Slice 66/155, Head
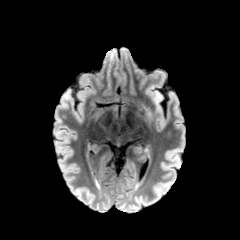
FLAIR MR.
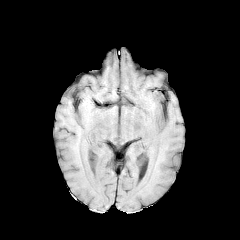
T1-weighted magnetic resonance.
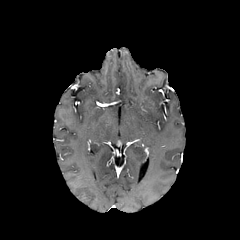
Post-contrast T1-weighted magnetic resonance.
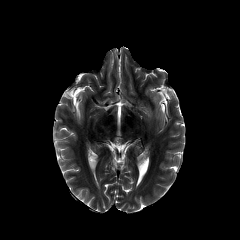
T2-weighted magnetic resonance of the same slice.
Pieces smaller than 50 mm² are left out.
<segmentation>
  <peritumoral_edema>rect(153, 95, 159, 111)</peritumoral_edema>
</segmentation>